Head, Axial view, Slice 91/155
FLAIR MRI.
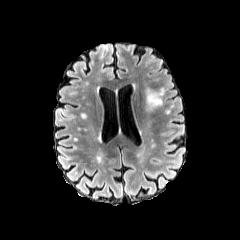
T1-weighted magnetic resonance.
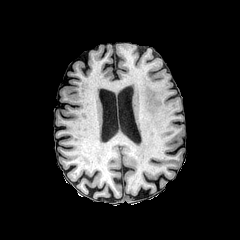
Post-contrast T1-weighted magnetic resonance.
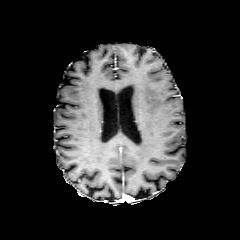
T2-weighted magnetic resonance.
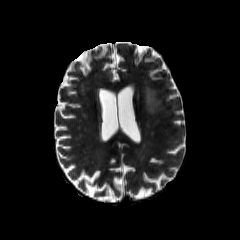
peritumoral edema = 146,89,163,110